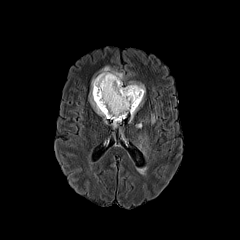
FLAIR MRI.
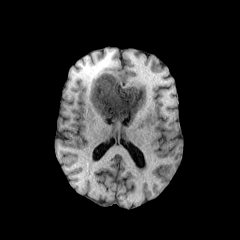
T1-weighted MR image.
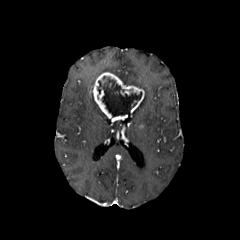
Same slice, post-contrast T1-weighted MR.
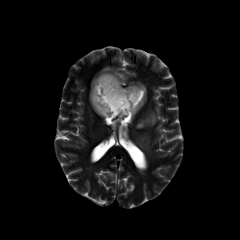
T2-weighted MR image of the same slice.
240x240, Head, Axial slice
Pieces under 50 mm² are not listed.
{
  "peritumoral_edema": [
    "box=[139, 136, 147, 149]",
    "box=[89, 66, 124, 121]",
    "box=[136, 113, 156, 127]",
    "box=[127, 81, 145, 93]"
  ],
  "necrotic_tumor_core": [
    "box=[97, 78, 141, 116]"
  ],
  "enhancing_tumor": [
    "box=[92, 72, 144, 121]"
  ]
}